Slice 82/155. Brain. Image size 240x240.
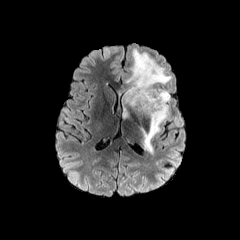
FLAIR magnetic resonance.
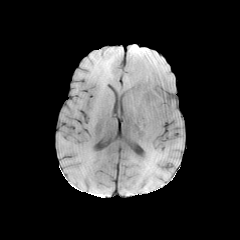
T1-weighted MR.
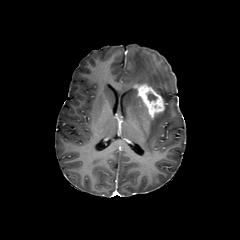
Same slice, post-contrast T1-weighted magnetic resonance.
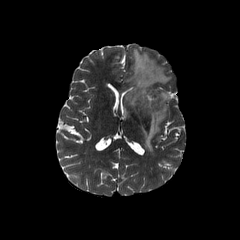
T2-weighted magnetic resonance of the same slice.
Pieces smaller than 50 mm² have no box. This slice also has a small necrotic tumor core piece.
Segmented structures:
• enhancing tumor: l=133, t=83, r=165, b=119
• peritumoral edema: l=117, t=49, r=171, b=119; l=140, t=88, r=170, b=154